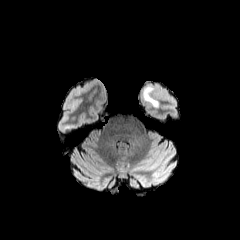
FLAIR MRI.
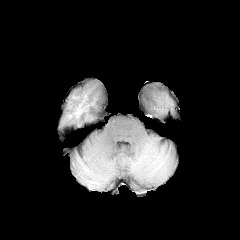
T1-weighted magnetic resonance.
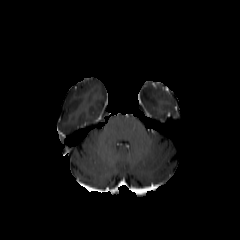
Post-contrast T1-weighted MRI of the same slice.
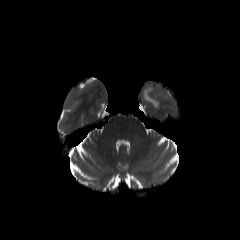
T2-weighted MR image of the same slice.
Brain
peritumoral_edema:
  - [143,86,159,107]